FLAIR magnetic resonance.
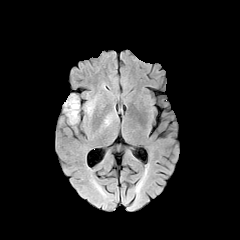
T1-weighted MR.
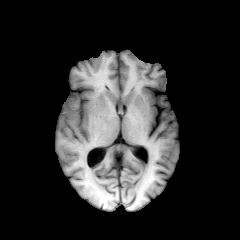
Post-contrast T1-weighted magnetic resonance.
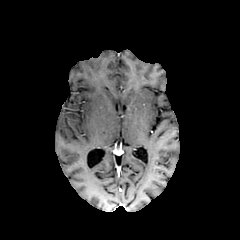
T2-weighted MR.
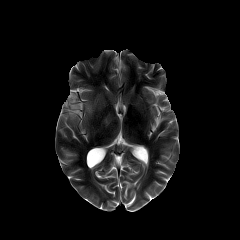
Axial slice
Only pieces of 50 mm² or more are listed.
The 2 largest peritumoral edema regions are located at x1=64 y1=95 x2=79 y2=124, x1=87 y1=102 x2=93 y2=112.